FLAIR magnetic resonance.
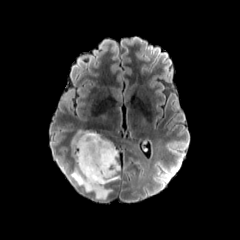
T1-weighted MR.
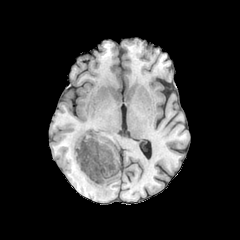
Post-contrast T1-weighted magnetic resonance.
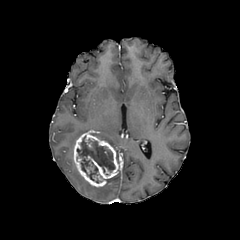
T2-weighted MR image.
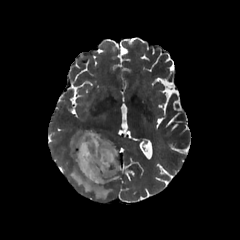
Head; Image size 240x240
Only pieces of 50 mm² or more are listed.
enhancing tumor: 73, 131, 120, 187 | peritumoral edema: 107, 174, 119, 183; 94, 132, 114, 148; 70, 165, 111, 198; 71, 129, 88, 156 | necrotic tumor core: 77, 136, 115, 180